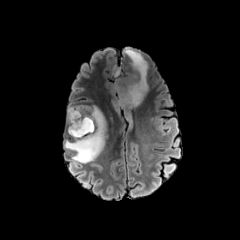
FLAIR MR.
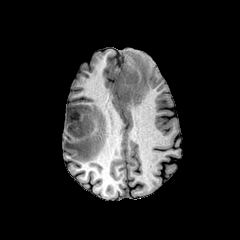
Same slice, T1-weighted magnetic resonance.
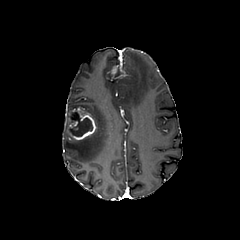
Same slice, post-contrast T1-weighted MRI.
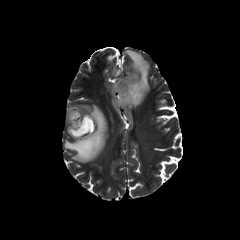
Same slice, T2-weighted magnetic resonance.
Brain
necrotic tumor core — bbox(69, 112, 92, 136)
enhancing tumor — bbox(66, 107, 96, 140); bbox(111, 63, 122, 76)
peritumoral edema — bbox(111, 48, 149, 109); bbox(64, 105, 106, 163)